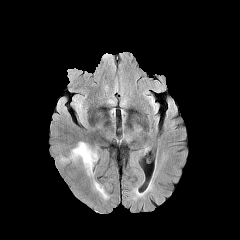
FLAIR MRI.
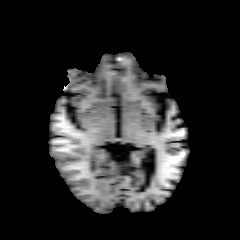
Same slice, T1-weighted MRI.
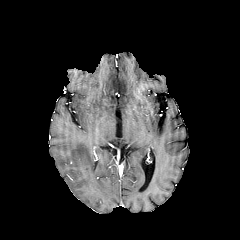
Post-contrast T1-weighted magnetic resonance of the same slice.
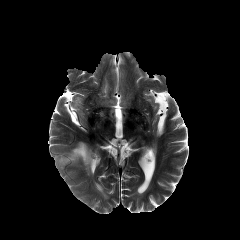
Same slice, T2-weighted MR image.
Segmented structures:
* peritumoral edema: l=60, t=142, r=96, b=175